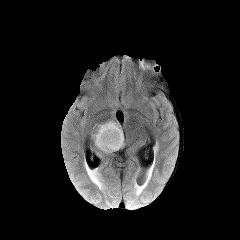
FLAIR MR.
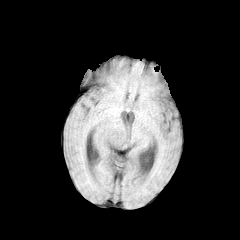
T1-weighted MRI.
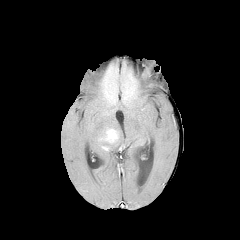
Post-contrast T1-weighted MRI of the same slice.
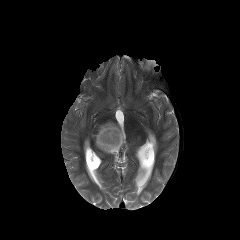
T2-weighted MR.
Axial plane
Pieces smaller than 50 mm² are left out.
The peritumoral edema is at (92,121,124,153). The largest enhancing tumor region is located at (99,129,118,143).